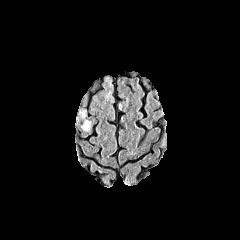
FLAIR magnetic resonance.
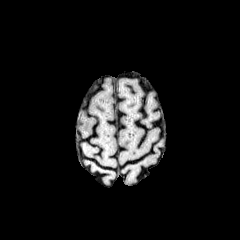
T1-weighted MRI.
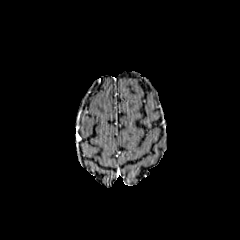
Post-contrast T1-weighted MRI.
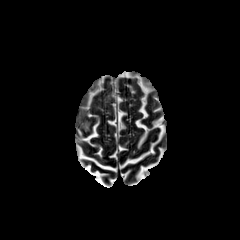
Same slice, T2-weighted MR image.
240x240, Axial slice
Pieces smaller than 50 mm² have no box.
Annotated regions:
- peritumoral edema: [x1=82, y1=120, x2=90, y2=131]